240x240 px; Axial plane; Brain; Image covers 240 mm x 240 mm
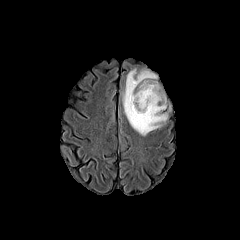
FLAIR MR.
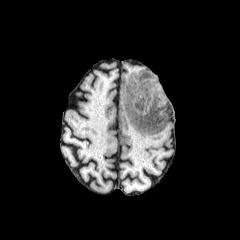
T1-weighted MRI of the same slice.
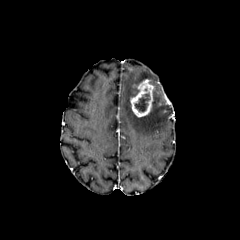
Post-contrast T1-weighted MR image.
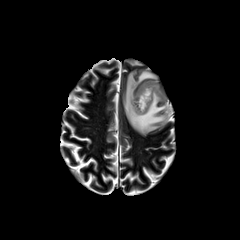
T2-weighted magnetic resonance.
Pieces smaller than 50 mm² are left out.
enhancing tumor: bbox=[130, 79, 154, 117] | necrotic tumor core: bbox=[135, 94, 149, 111] | peritumoral edema: bbox=[122, 69, 167, 135]